Slice 105 of 155 | 240x240
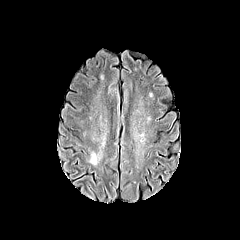
FLAIR MR.
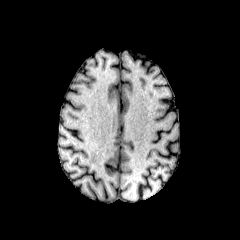
T1-weighted MRI.
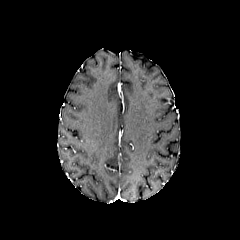
Post-contrast T1-weighted magnetic resonance.
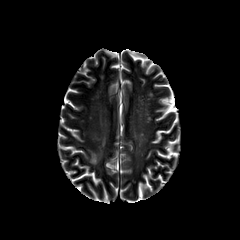
T2-weighted magnetic resonance.
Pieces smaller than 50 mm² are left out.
Annotated regions:
- peritumoral edema: (x1=89, y1=150, x2=101, y2=165)